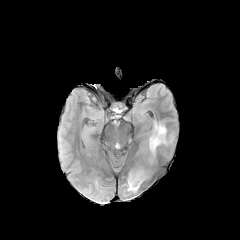
FLAIR MR image.
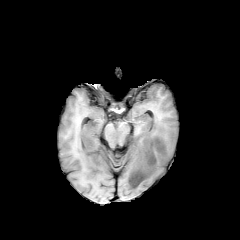
T1-weighted MR image.
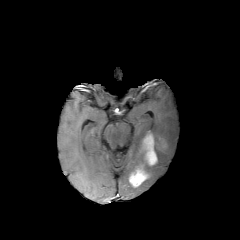
Post-contrast T1-weighted magnetic resonance of the same slice.
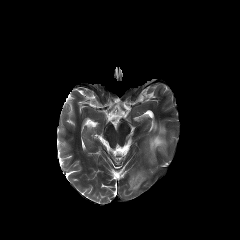
T2-weighted MR.
Axial slice
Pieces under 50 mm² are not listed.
enhancing_tumor:
  - [129,169,147,187]
  - [144,135,167,164]
peritumoral_edema:
  - [128,179,139,191]
  - [152,123,166,139]